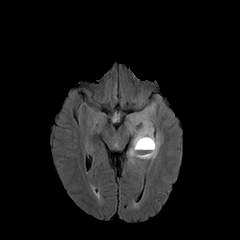
FLAIR MR.
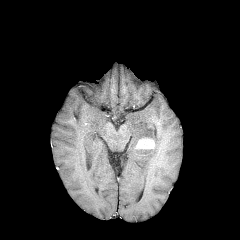
T1-weighted MR image.
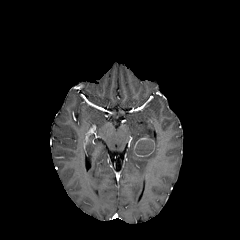
Post-contrast T1-weighted magnetic resonance of the same slice.
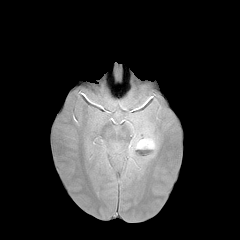
T2-weighted MR of the same slice.
Head | Axial plane
The peritumoral edema is bounded by x1=127 y1=103 x2=161 y2=162. The necrotic tumor core is located at x1=135 y1=140 x2=153 y2=155. The enhancing tumor is bounded by x1=134 y1=134 x2=154 y2=156.